FLAIR MRI.
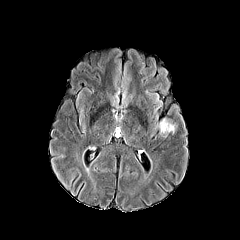
T1-weighted MR.
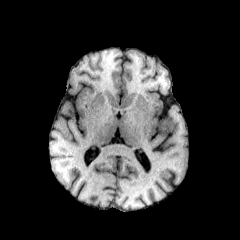
Post-contrast T1-weighted MRI.
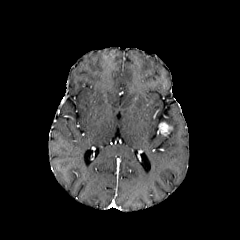
T2-weighted MR.
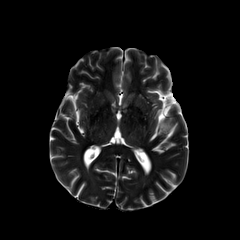
Brain
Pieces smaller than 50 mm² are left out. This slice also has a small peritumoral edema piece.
enhancing tumor: <box>158,122,172,135</box>